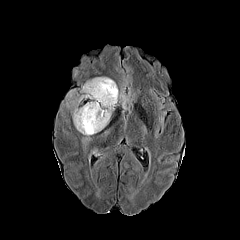
FLAIR MR image.
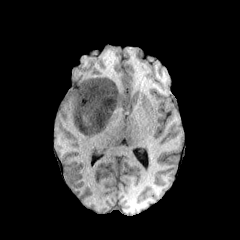
T1-weighted MR image.
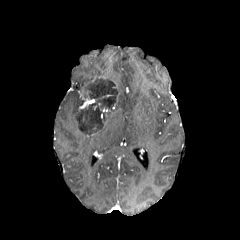
Post-contrast T1-weighted magnetic resonance of the same slice.
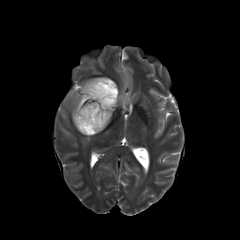
Same slice, T2-weighted MR image.
Axial slice, 240x240, Head
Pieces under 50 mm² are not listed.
Segmented structures:
* necrotic tumor core: box=[76, 78, 118, 134]
* peritumoral edema: box=[118, 90, 131, 109]; box=[65, 90, 90, 140]
* enhancing tumor: box=[100, 108, 110, 124]; box=[79, 94, 95, 108]